Brain | 240x240
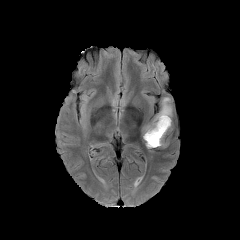
FLAIR MR image.
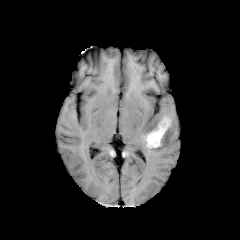
T1-weighted magnetic resonance of the same slice.
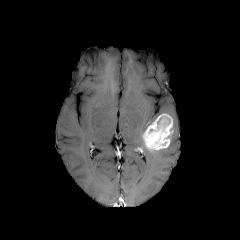
Post-contrast T1-weighted MRI of the same slice.
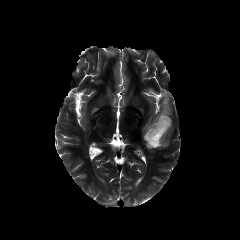
T2-weighted MRI.
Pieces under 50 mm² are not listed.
The enhancing tumor is at 143, 113, 172, 150. The largest peritumoral edema region appears at 152, 98, 172, 121.